Axial plane; Image covers 240 mm x 240 mm
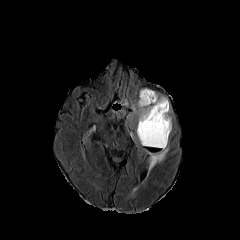
FLAIR magnetic resonance.
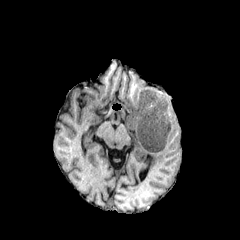
T1-weighted MR of the same slice.
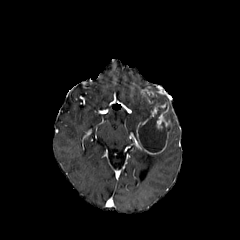
Post-contrast T1-weighted MR.
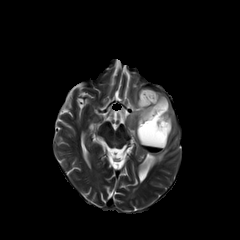
T2-weighted MR.
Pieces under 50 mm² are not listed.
Annotated regions:
* peritumoral edema: 129:90:171:132, 149:138:168:170
* enhancing tumor: 136:103:167:147, 141:89:156:103, 156:105:170:129, 143:132:169:154
* necrotic tumor core: 138:104:170:152